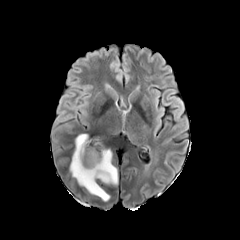
FLAIR magnetic resonance.
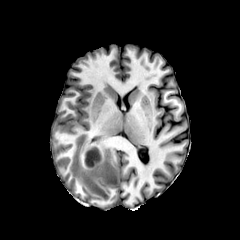
T1-weighted MRI of the same slice.
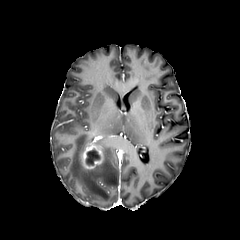
Same slice, post-contrast T1-weighted MR.
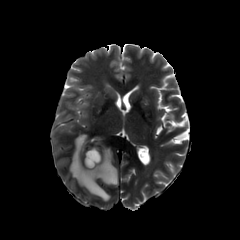
T2-weighted MRI of the same slice.
Head; Axial plane
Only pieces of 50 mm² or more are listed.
• necrotic tumor core: {"x1": 86, "y1": 149, "x2": 100, "y2": 165}
• enhancing tumor: {"x1": 83, "y1": 145, "x2": 102, "y2": 169}
• peritumoral edema: {"x1": 70, "y1": 134, "x2": 117, "y2": 201}